FLAIR magnetic resonance.
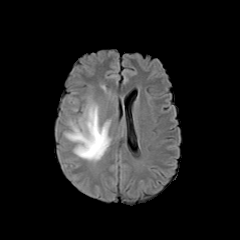
T1-weighted MR image.
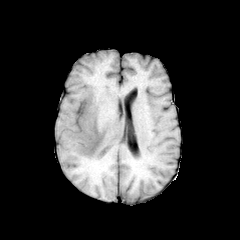
Post-contrast T1-weighted MR image.
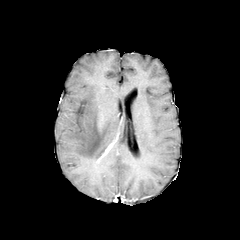
T2-weighted MR.
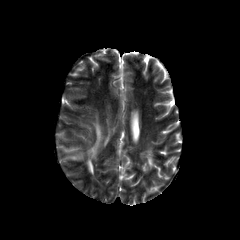
Axial plane.
Annotated regions:
* peritumoral edema: [x1=64, y1=103, x2=110, y2=161]